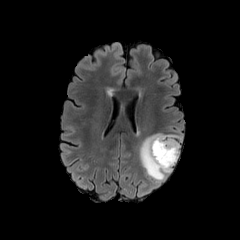
FLAIR MR image.
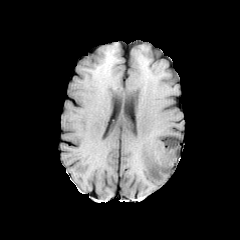
Same slice, T1-weighted MR image.
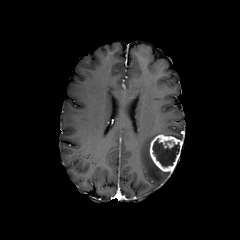
Post-contrast T1-weighted MR image.
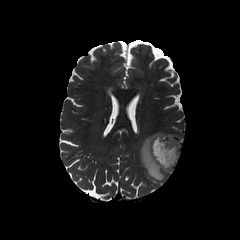
T2-weighted MR of the same slice.
240x240 px
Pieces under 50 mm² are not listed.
<segmentation>
  <peritumoral_edema>163 134 182 142, 139 133 170 182</peritumoral_edema>
  <necrotic_tumor_core>153 138 179 166</necrotic_tumor_core>
  <enhancing_tumor>149 134 181 172</enhancing_tumor>
</segmentation>